Brain. Slice 45 of 155.
FLAIR MRI.
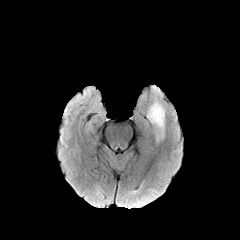
T1-weighted MR.
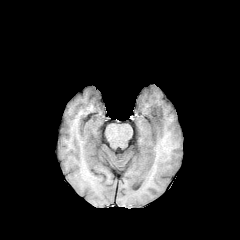
Post-contrast T1-weighted MRI.
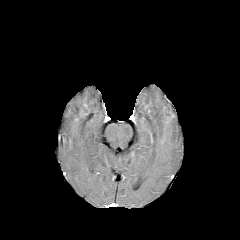
T2-weighted magnetic resonance.
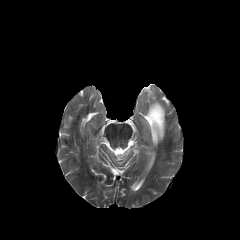
The peritumoral edema is at [147,102,164,139].